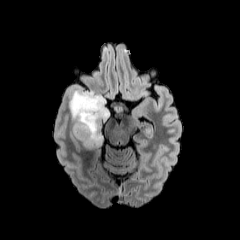
FLAIR MR image.
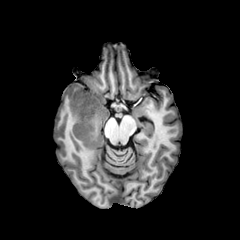
T1-weighted MR.
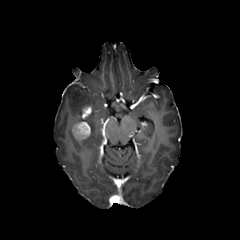
Post-contrast T1-weighted MRI.
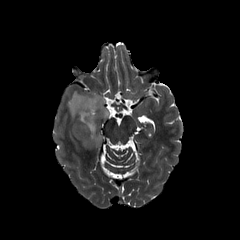
T2-weighted MR image.
240x240 | Axial plane | Brain
The enhancing tumor lies within x1=72, y1=105, x2=92, y2=140. The peritumoral edema lies within x1=69, y1=89, x2=109, y2=148.